Axial slice | Head | 240x240 | Slice index 112
FLAIR MRI.
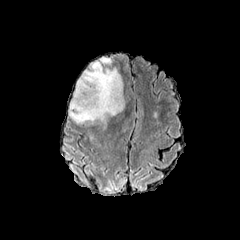
T1-weighted MRI.
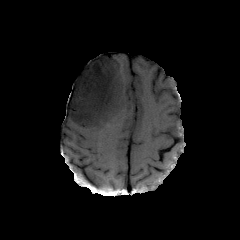
Post-contrast T1-weighted MR.
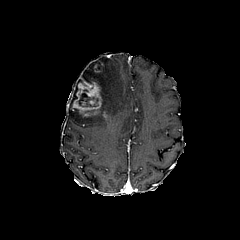
T2-weighted MR image.
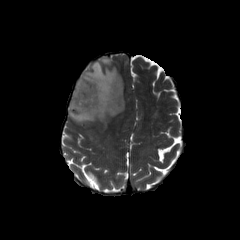
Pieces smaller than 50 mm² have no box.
The 2 largest enhancing tumor regions are bounded by <bbox>94, 64, 102, 72</bbox>, <bbox>71, 77, 102, 117</bbox>. The largest necrotic tumor core region appears at <bbox>78, 89, 94, 106</bbox>. The peritumoral edema appears at <bbox>68, 57, 124, 129</bbox>.